Axial slice
FLAIR MR image.
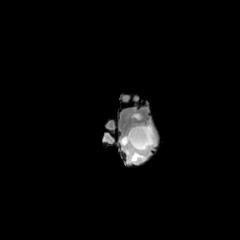
T1-weighted MR.
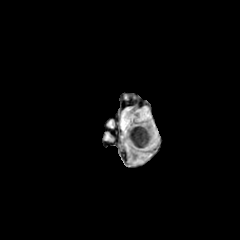
Post-contrast T1-weighted MR.
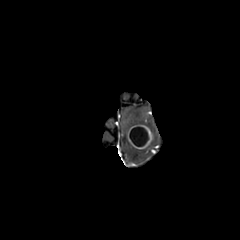
T2-weighted magnetic resonance.
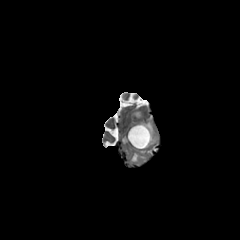
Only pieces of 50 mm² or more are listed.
enhancing tumor: bounding box x1=127 y1=124 x2=153 y2=149
peritumoral edema: bounding box x1=121 y1=122 x2=155 y2=162
necrotic tumor core: bounding box x1=129 y1=127 x2=148 y2=146